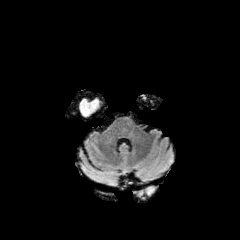
FLAIR MRI.
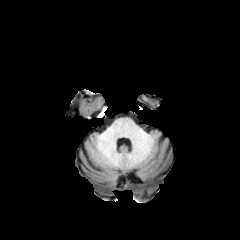
T1-weighted MRI.
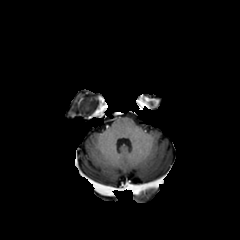
Same slice, post-contrast T1-weighted MR.
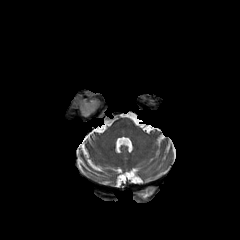
T2-weighted MR image.
peritumoral_edema:
  - (81, 100, 98, 116)